FLAIR MRI.
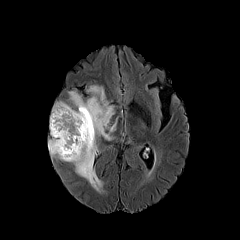
T1-weighted MR.
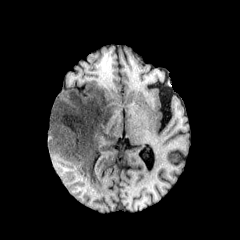
Post-contrast T1-weighted MR image.
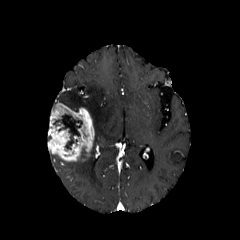
T2-weighted MRI.
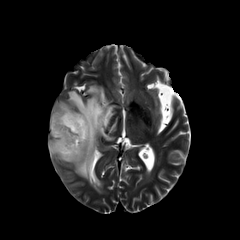
240x240 px, Axial slice
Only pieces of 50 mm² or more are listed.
enhancing_tumor:
  - left=48, top=102, right=94, bottom=161
peritumoral_edema:
  - left=60, top=85, right=116, bottom=191
necrotic_tumor_core:
  - left=58, top=114, right=82, bottom=149